Image width 240 mm, 1.00 mm slice spacing; Axial plane
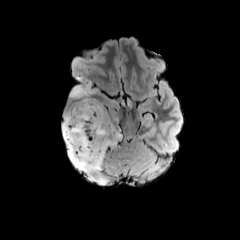
FLAIR MR image.
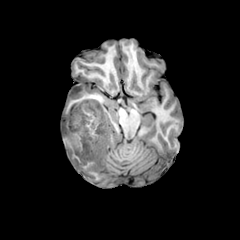
T1-weighted MR image of the same slice.
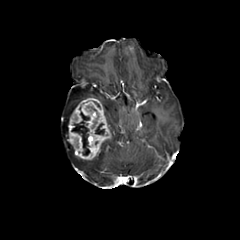
Same slice, post-contrast T1-weighted MR image.
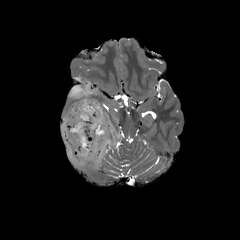
Same slice, T2-weighted MR.
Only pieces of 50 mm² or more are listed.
{
  "peritumoral_edema": [
    "region(62, 105, 113, 169)",
    "region(70, 80, 95, 98)"
  ],
  "enhancing_tumor": [
    "region(67, 98, 111, 160)"
  ],
  "necrotic_tumor_core": [
    "region(95, 123, 104, 134)",
    "region(72, 112, 89, 155)"
  ]
}